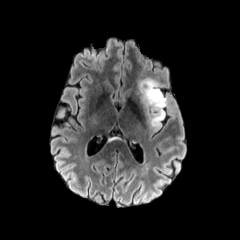
FLAIR magnetic resonance.
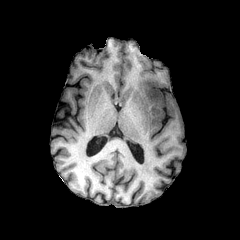
T1-weighted MR of the same slice.
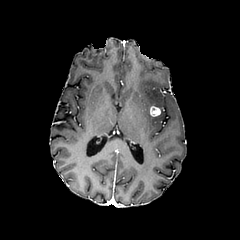
Post-contrast T1-weighted MR image of the same slice.
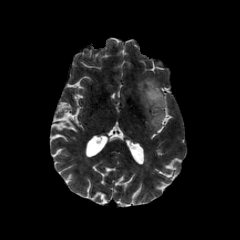
T2-weighted MR.
Brain. Axial slice.
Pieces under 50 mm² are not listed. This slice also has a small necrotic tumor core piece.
peritumoral edema = (left=138, top=77, right=167, bottom=131)
enhancing tumor = (left=150, top=106, right=160, bottom=116)